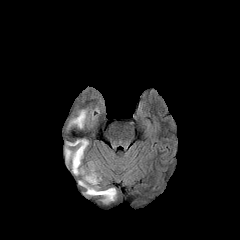
FLAIR MR.
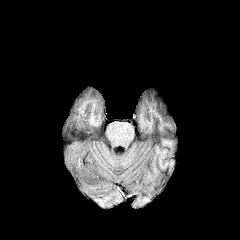
T1-weighted MR of the same slice.
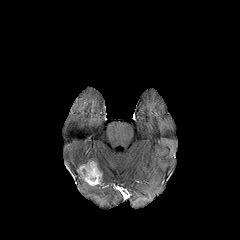
Post-contrast T1-weighted magnetic resonance.
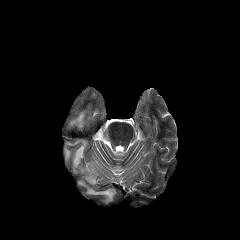
T2-weighted MR.
240x240 px
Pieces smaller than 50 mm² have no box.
The 3 largest peritumoral edema regions appear at rect(65, 140, 88, 174); rect(78, 179, 116, 202); rect(69, 110, 86, 128). The enhancing tumor is bounded by rect(77, 161, 101, 186).